FLAIR MR image.
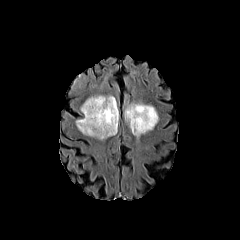
T1-weighted magnetic resonance.
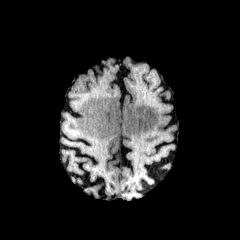
Post-contrast T1-weighted MRI.
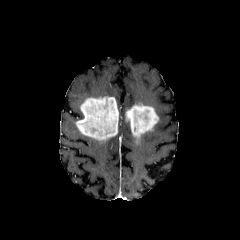
T2-weighted MR.
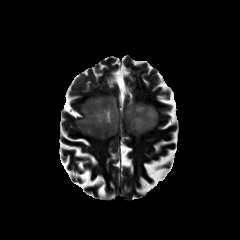
240x240
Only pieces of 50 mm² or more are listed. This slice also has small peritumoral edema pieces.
{"enhancing_tumor": ["(left=125, top=103, right=158, bottom=140)", "(left=76, top=96, right=118, bottom=140)"]}